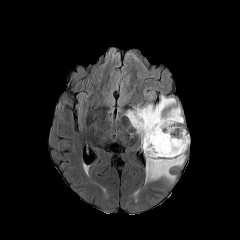
FLAIR MR image.
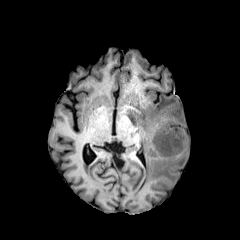
T1-weighted MR.
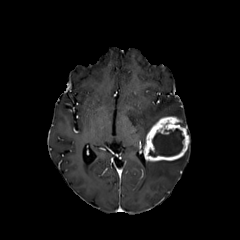
Post-contrast T1-weighted MR image of the same slice.
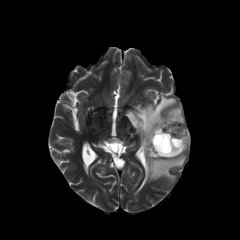
Same slice, T2-weighted MR image.
Axial plane
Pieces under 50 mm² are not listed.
peritumoral edema: region(126, 95, 176, 147); region(166, 105, 183, 122); region(145, 155, 185, 182) | enhancing tumor: region(143, 116, 189, 161) | necrotic tumor core: region(149, 129, 183, 156)